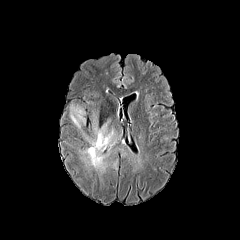
FLAIR MR.
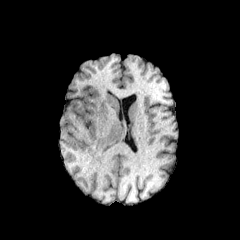
T1-weighted MR image of the same slice.
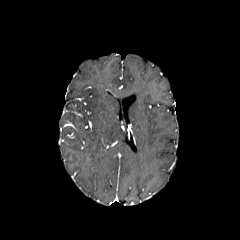
Same slice, post-contrast T1-weighted MRI.
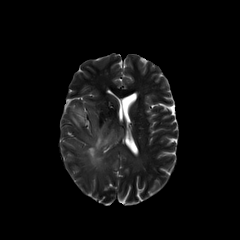
Same slice, T2-weighted MR.
Head | Image size 240x240
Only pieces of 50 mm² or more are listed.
{
  "peritumoral_edema": [
    "81,120,116,172",
    "70,114,85,127"
  ]
}